FLAIR MR image.
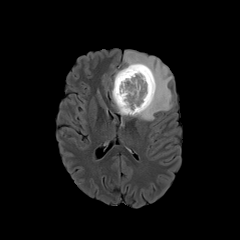
T1-weighted MRI.
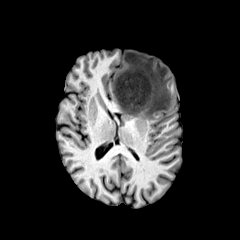
Post-contrast T1-weighted MR.
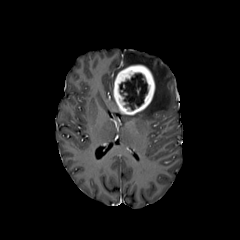
T2-weighted MR.
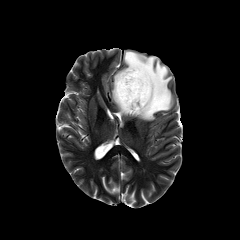
Head
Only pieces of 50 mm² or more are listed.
enhancing tumor at 113,65,155,114
necrotic tumor core at 119,73,147,110
peritumoral edema at 121,51,173,120